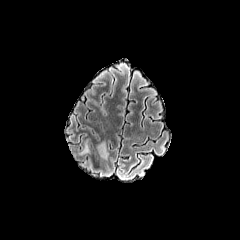
FLAIR magnetic resonance.
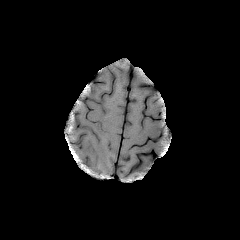
Same slice, T1-weighted MRI.
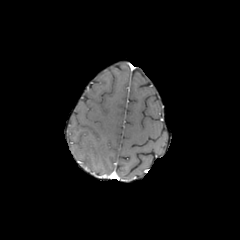
Post-contrast T1-weighted magnetic resonance.
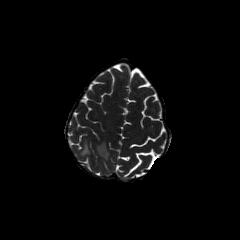
T2-weighted magnetic resonance of the same slice.
Image size 240x240; Head; Axial view
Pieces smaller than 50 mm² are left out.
peritumoral edema: x1=97, y1=141, x2=108, y2=159